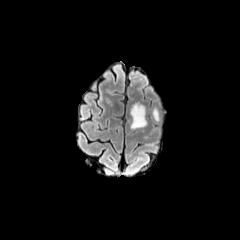
FLAIR magnetic resonance.
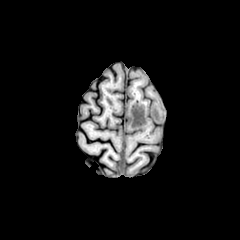
Same slice, T1-weighted MR image.
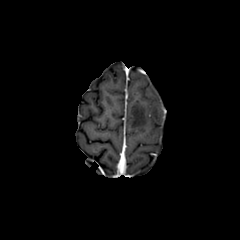
Post-contrast T1-weighted MR image of the same slice.
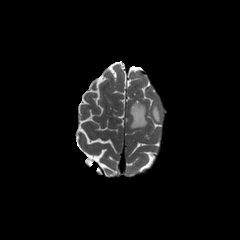
T2-weighted magnetic resonance.
Image size 240x240
peritumoral edema — [152,107,159,120], [130,103,146,128]